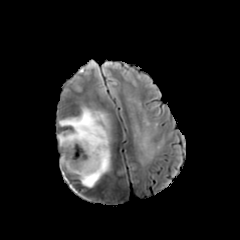
FLAIR MR image.
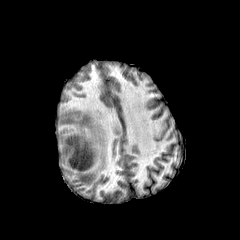
T1-weighted MRI.
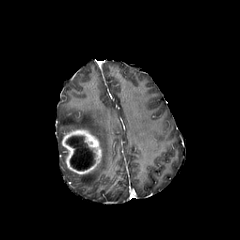
Post-contrast T1-weighted magnetic resonance.
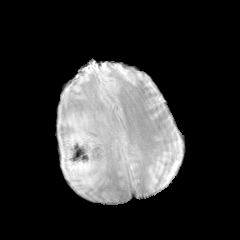
T2-weighted MR image.
Head
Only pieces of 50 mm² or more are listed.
necrotic tumor core: bounding box [66, 136, 94, 170]
enhancing tumor: bounding box [61, 129, 102, 174]
peritumoral edema: bounding box [59, 107, 110, 187], [58, 132, 63, 150]